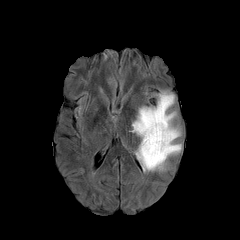
FLAIR MR.
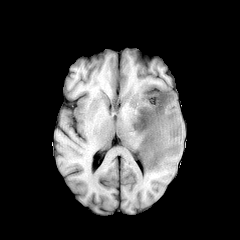
T1-weighted magnetic resonance.
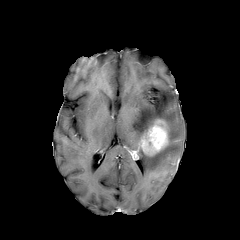
Post-contrast T1-weighted magnetic resonance.
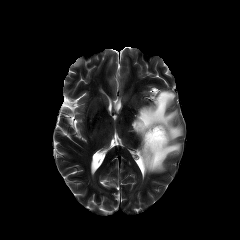
T2-weighted magnetic resonance of the same slice.
Axial slice; 240x240
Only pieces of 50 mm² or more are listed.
The peritumoral edema is located at bbox=[131, 90, 182, 172]. The largest enhancing tumor region is bounded by bbox=[140, 119, 168, 155].